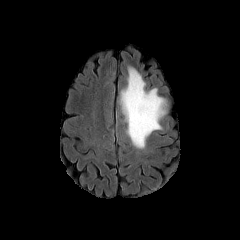
FLAIR MR image.
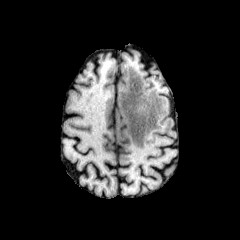
T1-weighted MR image of the same slice.
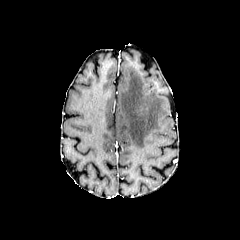
Post-contrast T1-weighted MRI.
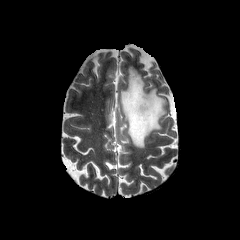
Same slice, T2-weighted MRI.
Axial slice. Image size 240x240. Head.
peritumoral_edema:
  - [120, 67, 166, 148]